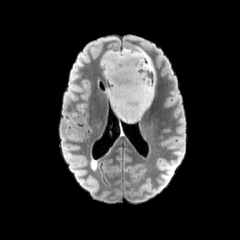
FLAIR MR image.
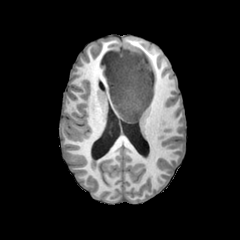
T1-weighted MR image of the same slice.
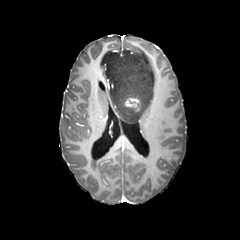
Post-contrast T1-weighted MR image.
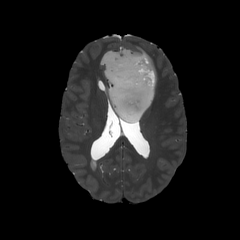
T2-weighted magnetic resonance.
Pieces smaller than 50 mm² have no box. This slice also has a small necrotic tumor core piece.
Findings:
- peritumoral edema: [101, 47, 155, 122]
- enhancing tumor: [125, 98, 140, 111]